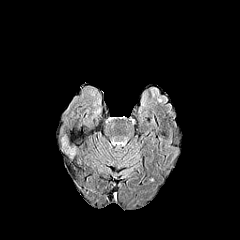
FLAIR magnetic resonance.
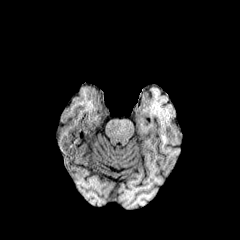
Same slice, T1-weighted MRI.
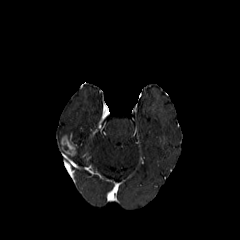
Post-contrast T1-weighted MR of the same slice.
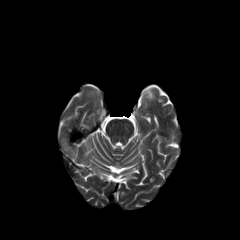
T2-weighted MR.
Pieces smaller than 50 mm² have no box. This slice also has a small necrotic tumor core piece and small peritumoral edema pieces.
enhancing tumor = 61 135 75 156